240x240 | Image width 240 mm
FLAIR MRI.
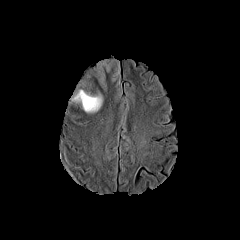
T1-weighted MRI.
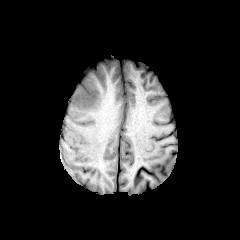
Post-contrast T1-weighted MR.
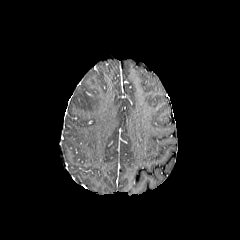
T2-weighted magnetic resonance.
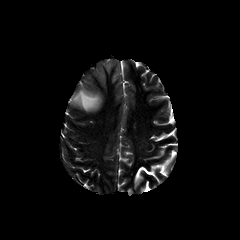
peritumoral edema: (72, 58, 122, 112)